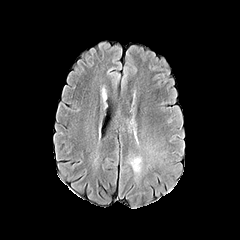
FLAIR MR.
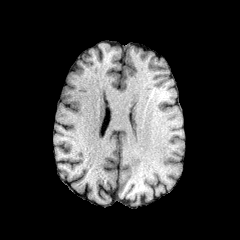
Same slice, T1-weighted magnetic resonance.
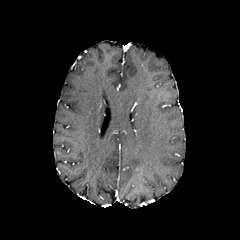
Post-contrast T1-weighted magnetic resonance of the same slice.
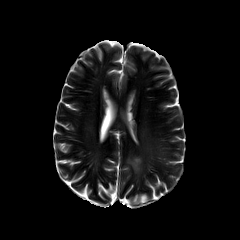
Same slice, T2-weighted MR.
Head. Axial plane.
peritumoral_edema:
  - 130, 157, 141, 172